Slice index 78 | Axial slice | Image covers 240 mm x 240 mm
FLAIR magnetic resonance.
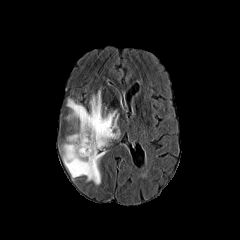
T1-weighted MR.
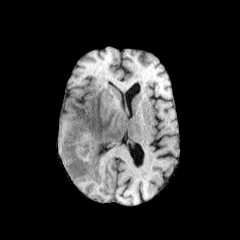
Post-contrast T1-weighted MR image.
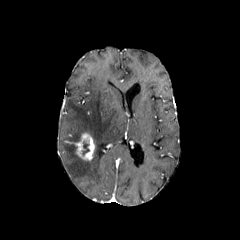
T2-weighted MR.
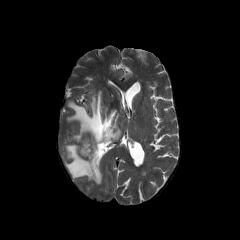
enhancing tumor = x1=75, y1=133, x2=94, y2=160
peritumoral edema = x1=63, y1=92, x2=120, y2=184
necrotic tumor core = x1=82, y1=142, x2=89, y2=154